FLAIR MR image.
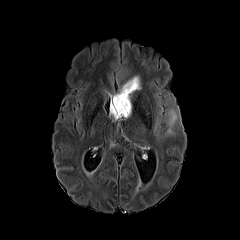
T1-weighted magnetic resonance.
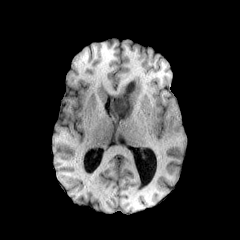
Post-contrast T1-weighted magnetic resonance.
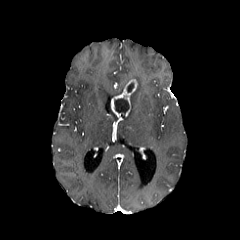
T2-weighted MR image.
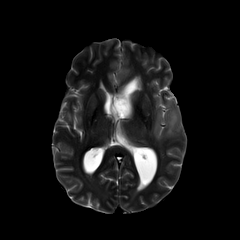
Head; 240x240
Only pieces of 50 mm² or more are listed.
<segmentation>
  <enhancing_tumor>110 79 137 119</enhancing_tumor>
  <peritumoral_edema>133 76 141 90, 164 109 178 135, 155 117 161 129</peritumoral_edema>
  <necrotic_tumor_core>127 83 133 92, 114 98 129 117</necrotic_tumor_core>
</segmentation>